Axial plane
FLAIR MR image.
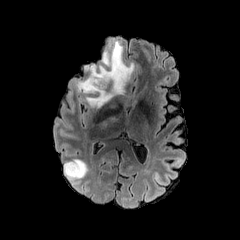
T1-weighted MR image.
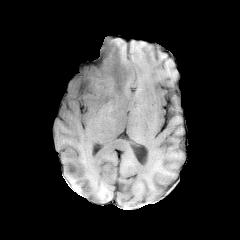
Post-contrast T1-weighted MRI.
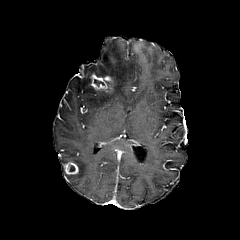
T2-weighted magnetic resonance.
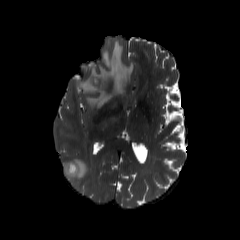
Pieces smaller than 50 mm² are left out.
necrotic tumor core: x1=68, y1=164, x2=75, y2=171 | peritumoral edema: x1=64, y1=159, x2=87, y2=179; x1=73, y1=38, x2=133, y2=108 | enhancing tumor: x1=90, y1=73, x2=113, y2=90; x1=66, y1=163, x2=77, y2=173